FLAIR MRI.
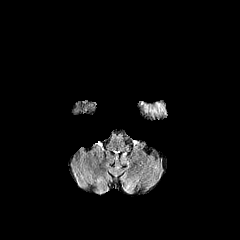
T1-weighted magnetic resonance.
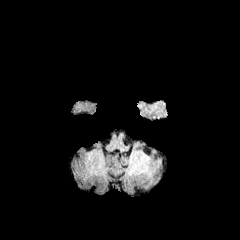
Post-contrast T1-weighted MRI.
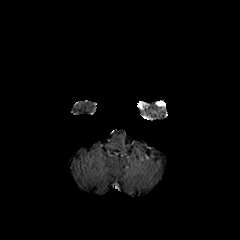
T2-weighted magnetic resonance.
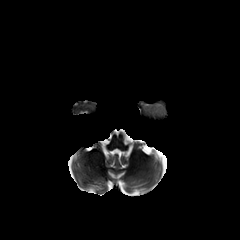
Axial slice
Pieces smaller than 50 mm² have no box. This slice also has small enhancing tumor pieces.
peritumoral edema: [146, 105, 164, 113]